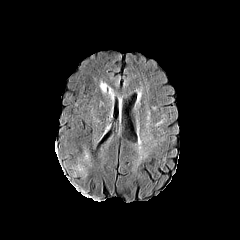
FLAIR MR.
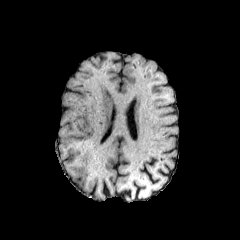
Same slice, T1-weighted MR.
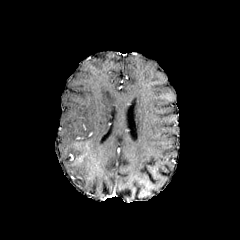
Post-contrast T1-weighted MRI.
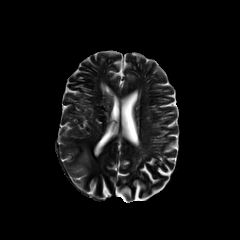
T2-weighted MRI of the same slice.
240x240 px.
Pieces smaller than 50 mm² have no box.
peritumoral edema = <box>76,165,84,173</box>